FLAIR MR.
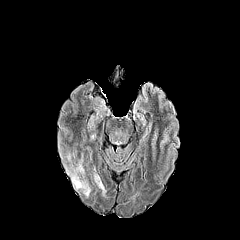
T1-weighted magnetic resonance.
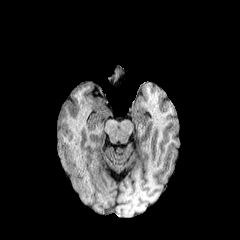
Post-contrast T1-weighted MR image.
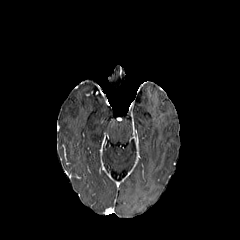
T2-weighted MR image.
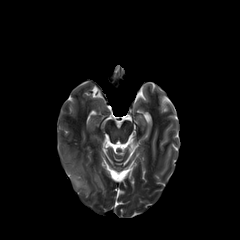
Brain, Axial plane
3 peritumoral edema regions appear at l=75, t=164, r=83, b=172; l=95, t=174, r=105, b=194; l=72, t=177, r=90, b=196.